FLAIR MR image.
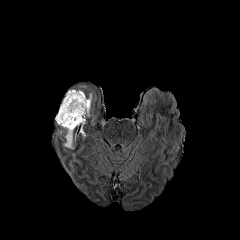
T1-weighted MR image.
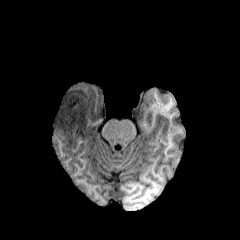
Post-contrast T1-weighted MR.
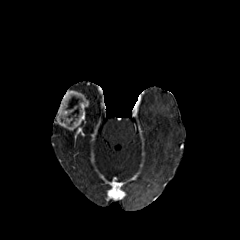
T2-weighted magnetic resonance.
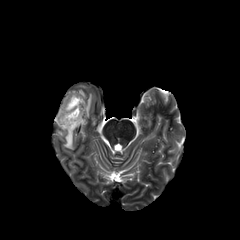
Axial plane
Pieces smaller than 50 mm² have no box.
Findings:
* necrotic tumor core: left=67, top=107, right=79, bottom=125; left=66, top=96, right=82, bottom=109
* enhancing tumor: left=55, top=90, right=89, bottom=131
* peritumoral edema: left=87, top=93, right=92, bottom=117; left=63, top=130, right=74, bottom=149